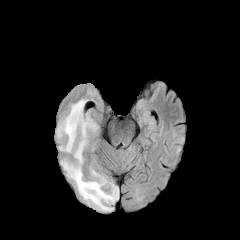
FLAIR magnetic resonance.
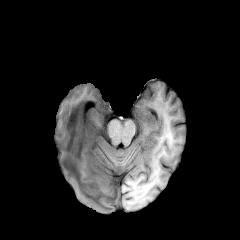
T1-weighted MR image.
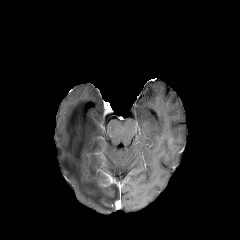
Same slice, post-contrast T1-weighted MRI.
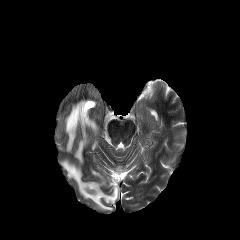
T2-weighted MR image.
Head
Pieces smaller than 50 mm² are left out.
peritumoral edema — l=56, t=99, r=118, b=210
enhancing tumor — l=100, t=171, r=116, b=186